Brain, Axial view
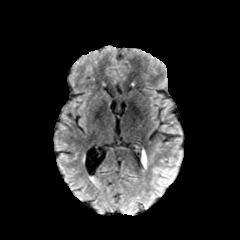
FLAIR magnetic resonance.
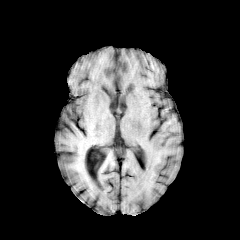
T1-weighted magnetic resonance.
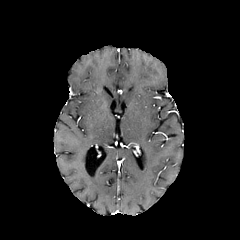
Post-contrast T1-weighted MRI.
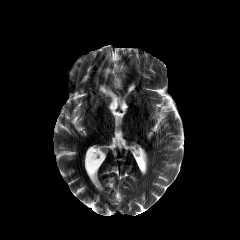
T2-weighted MRI.
<segmentation>
  <peritumoral_edema>(142,151,147,166)</peritumoral_edema>
</segmentation>